FLAIR MRI.
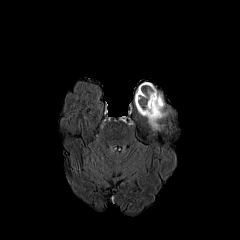
T1-weighted magnetic resonance.
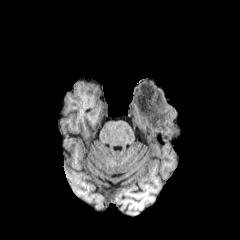
Post-contrast T1-weighted MR.
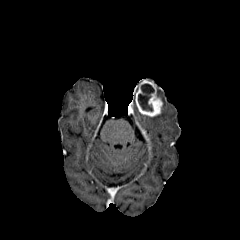
T2-weighted MR.
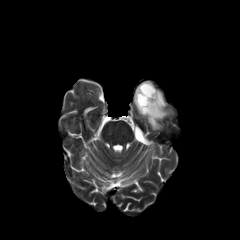
Brain. Axial plane.
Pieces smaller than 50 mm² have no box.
enhancing tumor at (135,80,162,117)
necrotic tumor core at (138,84,154,111)
peritumoral edema at (143,91,170,130)